240x240 px, Head, Axial plane
FLAIR MR image.
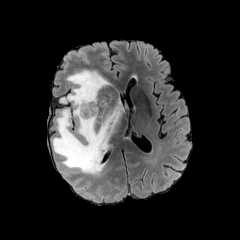
T1-weighted MRI.
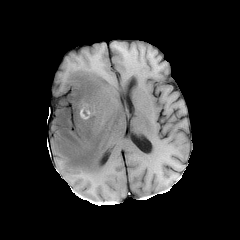
Post-contrast T1-weighted MR image.
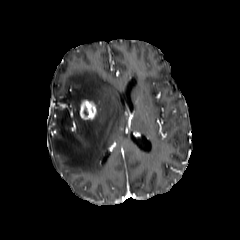
T2-weighted magnetic resonance.
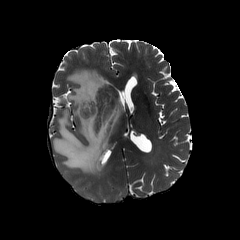
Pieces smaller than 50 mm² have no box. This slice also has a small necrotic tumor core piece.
Annotated regions:
• enhancing tumor: (x1=79, y1=100, x2=97, y2=120)
• peritumoral edema: (x1=52, y1=69, x2=124, y2=176)